FLAIR MRI.
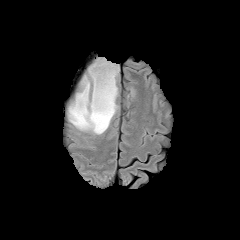
T1-weighted magnetic resonance.
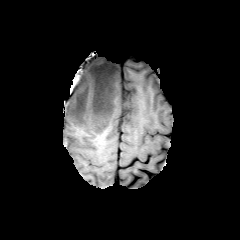
Post-contrast T1-weighted MR image.
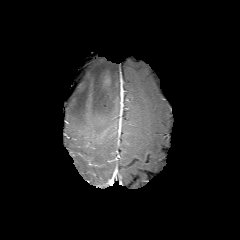
T2-weighted MRI.
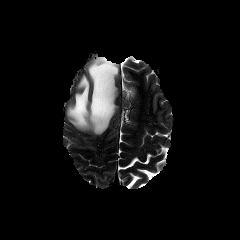
Brain | 240x240 px
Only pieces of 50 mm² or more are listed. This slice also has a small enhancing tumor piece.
<segmentation>
  <peritumoral_edema>[68,58,118,134]</peritumoral_edema>
</segmentation>